240x240 px. Image width 240 mm, 1.00 mm slice spacing. Head.
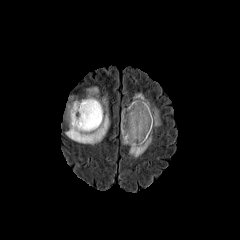
FLAIR MRI.
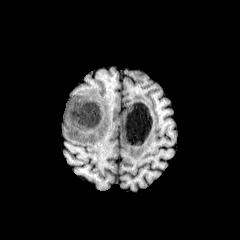
T1-weighted MR of the same slice.
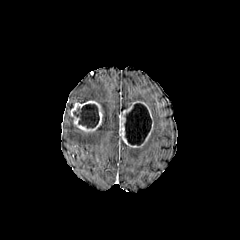
Post-contrast T1-weighted MR image of the same slice.
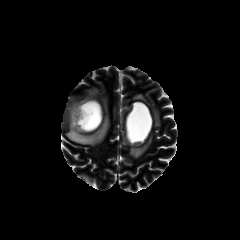
T2-weighted MRI of the same slice.
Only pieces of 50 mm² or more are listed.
necrotic tumor core: bbox=[73, 104, 99, 128]; bbox=[124, 103, 151, 145]
peritumoral edema: bbox=[66, 87, 109, 145]; bbox=[133, 93, 160, 126]; bbox=[129, 133, 151, 157]
enhancing tumor: bbox=[120, 101, 153, 147]; bbox=[68, 100, 102, 132]